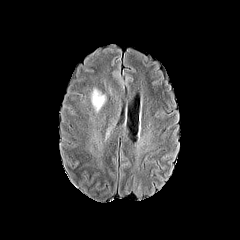
FLAIR MRI.
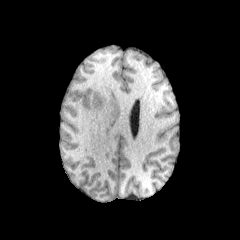
Same slice, T1-weighted magnetic resonance.
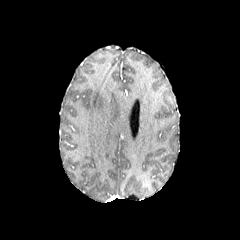
Same slice, post-contrast T1-weighted MR.
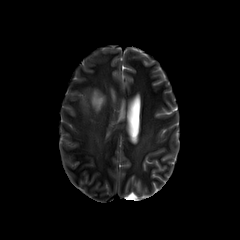
T2-weighted magnetic resonance.
Head
peritumoral edema: region(91, 89, 105, 112)